FLAIR magnetic resonance.
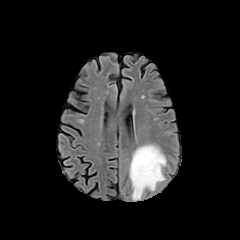
T1-weighted MR image.
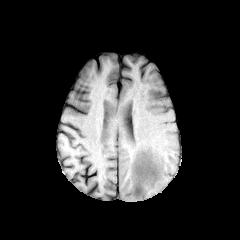
Post-contrast T1-weighted MR image.
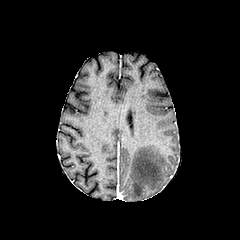
T2-weighted MR image.
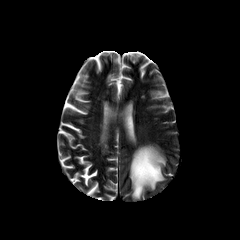
Brain; 240x240 px
peritumoral edema — bbox=[129, 144, 166, 200]